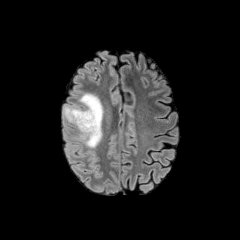
FLAIR MRI.
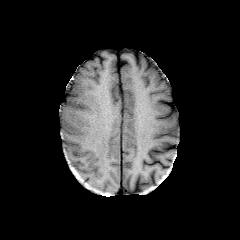
T1-weighted magnetic resonance.
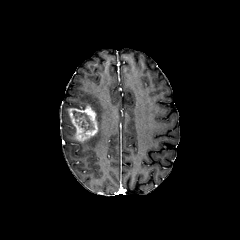
Post-contrast T1-weighted MRI.
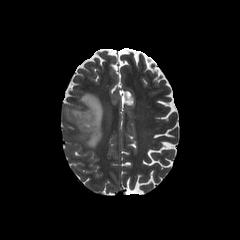
Same slice, T2-weighted magnetic resonance.
Axial slice.
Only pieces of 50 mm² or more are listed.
necrotic tumor core: [x1=73, y1=111, x2=92, y2=129]
peritumoral edema: [x1=65, y1=93, x2=102, y2=152], [x1=63, y1=104, x2=80, y2=123]
enhancing tumor: [x1=67, y1=104, x2=98, y2=142]